Image size 240x240 | Brain | Slice 84/155
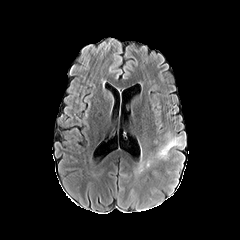
FLAIR MRI.
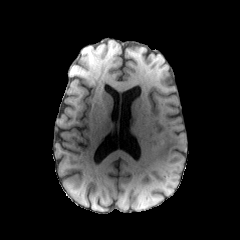
T1-weighted magnetic resonance of the same slice.
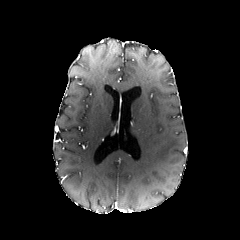
Post-contrast T1-weighted magnetic resonance of the same slice.
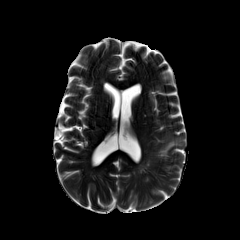
T2-weighted MR.
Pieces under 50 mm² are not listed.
peritumoral edema — bbox(138, 161, 144, 173); bbox(156, 133, 182, 159)